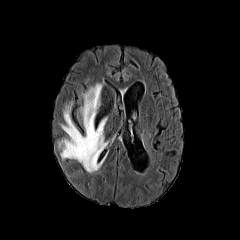
FLAIR MRI.
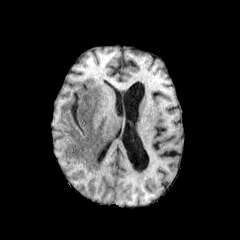
T1-weighted MRI of the same slice.
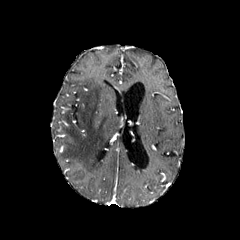
Post-contrast T1-weighted magnetic resonance.
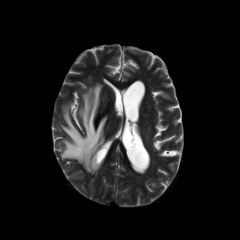
Same slice, T2-weighted MR.
Axial plane
The peritumoral edema is located at bbox=[58, 83, 107, 172].